FLAIR MR.
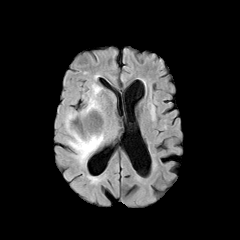
T1-weighted MR.
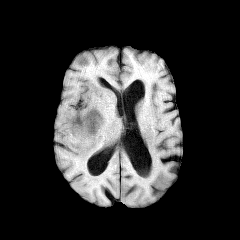
Post-contrast T1-weighted MRI.
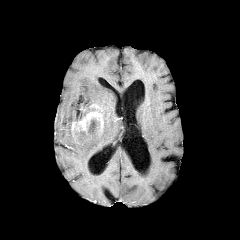
T2-weighted MR image.
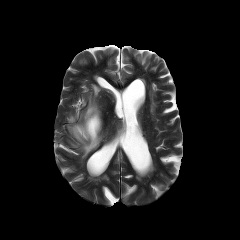
Axial view
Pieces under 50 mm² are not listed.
The largest peritumoral edema region is at (65, 84, 104, 163). The enhancing tumor appears at (71, 104, 102, 134). The largest necrotic tumor core region is located at (88, 119, 98, 134).